Slice 84 of 155. Image size 240x240.
FLAIR MR.
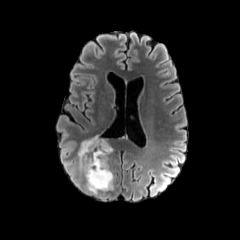
T1-weighted magnetic resonance.
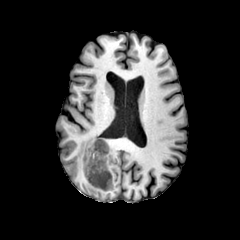
Post-contrast T1-weighted MR image.
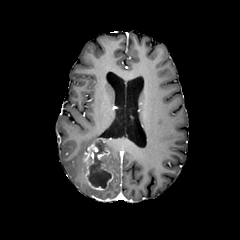
T2-weighted MR image.
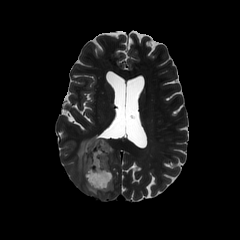
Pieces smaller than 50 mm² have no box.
peritumoral edema: 78,136,98,172; 87,180,113,195
necrotic tumor core: 88,141,111,187
enhancing tumor: 83,138,113,190